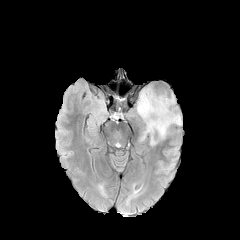
FLAIR MR.
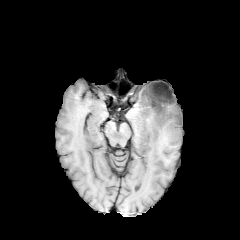
T1-weighted MRI of the same slice.
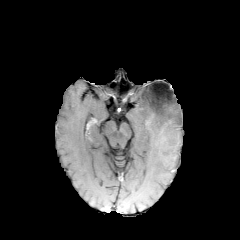
Post-contrast T1-weighted MR.
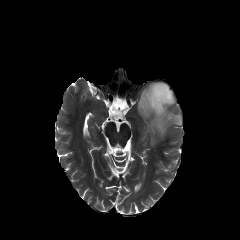
T2-weighted MRI.
Axial view. Head.
necrotic tumor core = (x1=144, y1=83, x2=173, y2=116)
peritumoral edema = (x1=137, y1=86, x2=182, y2=145)